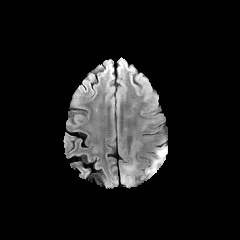
FLAIR magnetic resonance.
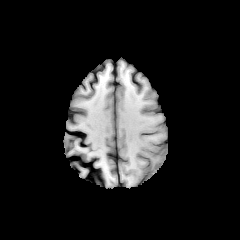
Same slice, T1-weighted MRI.
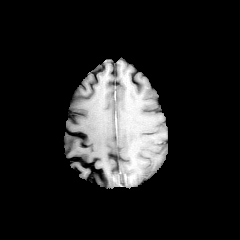
Post-contrast T1-weighted MRI.
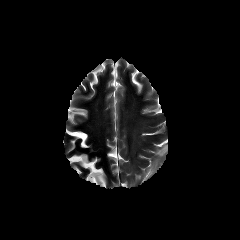
T2-weighted MRI.
Axial plane
Findings:
- peritumoral edema: box=[146, 145, 167, 176]